Slice 119 of 155; Head; Axial slice; 240x240
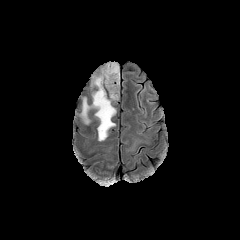
FLAIR magnetic resonance.
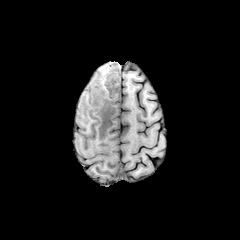
T1-weighted MR image of the same slice.
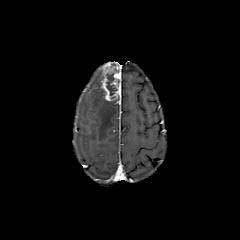
Post-contrast T1-weighted MR.
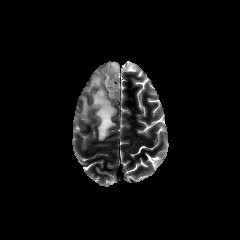
Same slice, T2-weighted magnetic resonance.
necrotic_tumor_core:
  - 106:73:116:95
enhancing_tumor:
  - 101:61:120:101
peritumoral_edema:
  - 81:70:116:140